FLAIR MR.
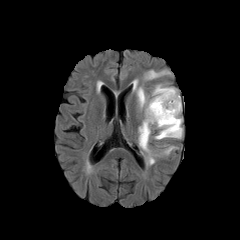
T1-weighted MR.
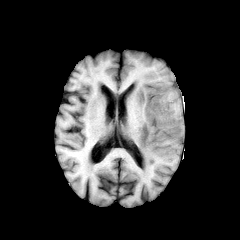
Post-contrast T1-weighted magnetic resonance.
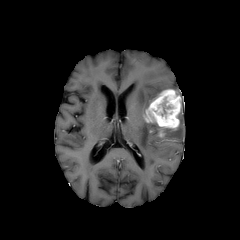
T2-weighted MRI.
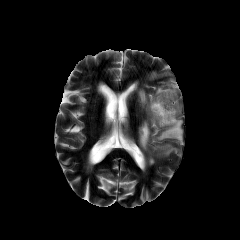
Brain
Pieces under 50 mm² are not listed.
The necrotic tumor core appears at (157,97,174,117). The enhancing tumor is located at (144,89,181,137). The 5 largest peritumoral edema regions are bounded by (155,146,176,155), (138,120,160,164), (154,114,182,140), (146,70,170,79), (133,78,178,108).